Axial view. Image width 240 mm, 1.00 mm slice spacing.
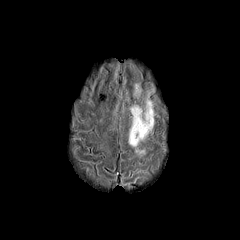
FLAIR MR.
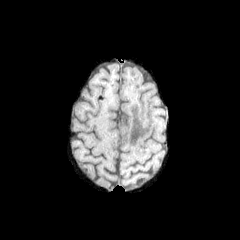
Same slice, T1-weighted MR image.
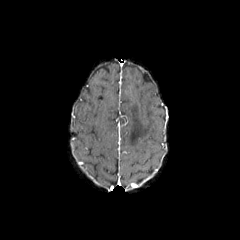
Post-contrast T1-weighted MR image.
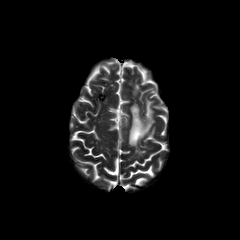
T2-weighted MR.
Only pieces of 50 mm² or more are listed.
peritumoral edema: bounding box box(128, 99, 154, 146)